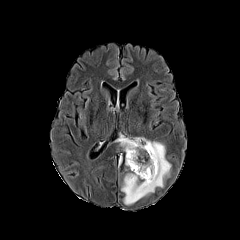
FLAIR magnetic resonance.
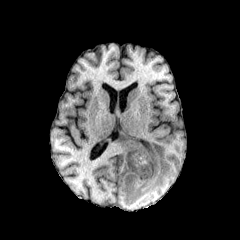
T1-weighted MR.
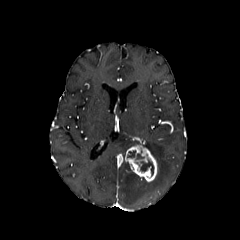
Post-contrast T1-weighted magnetic resonance.
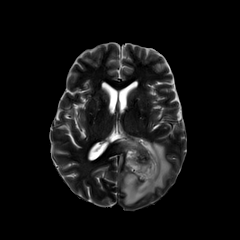
T2-weighted MR image.
Head.
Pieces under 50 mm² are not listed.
peritumoral edema at x1=121 y1=140 x2=170 y2=204, x1=117 y1=135 x2=139 y2=151
necrotic tumor core at x1=140 y1=160 x2=153 y2=175
enhancing tumor at x1=125 y1=137 x2=157 y2=182